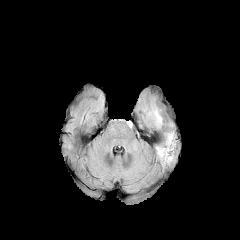
FLAIR MR image.
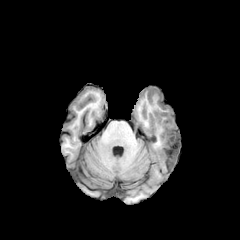
T1-weighted MR image of the same slice.
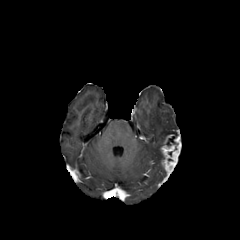
Post-contrast T1-weighted MRI of the same slice.
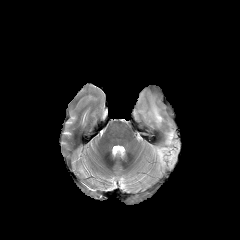
T2-weighted magnetic resonance.
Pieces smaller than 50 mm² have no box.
{
  "enhancing_tumor": [
    "[x1=161, y1=137, x2=181, y2=171]"
  ],
  "peritumoral_edema": [
    "[x1=153, y1=109, x2=161, y2=125]",
    "[x1=157, y1=147, x2=164, y2=159]"
  ],
  "necrotic_tumor_core": [
    "[x1=164, y1=136, x2=177, y2=145]"
  ]
}